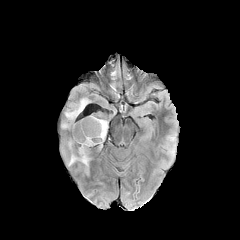
FLAIR MR.
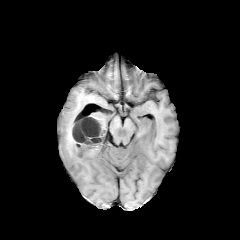
T1-weighted MRI of the same slice.
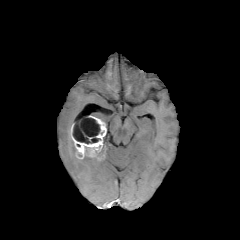
Post-contrast T1-weighted MR.
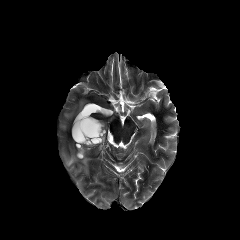
T2-weighted MRI.
Brain | 240x240 px | Axial plane
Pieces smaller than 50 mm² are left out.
peritumoral edema at {"x1": 66, "y1": 142, "x2": 90, "y2": 174}, {"x1": 65, "y1": 99, "x2": 87, "y2": 120}
necrotic tumor core at {"x1": 72, "y1": 121, "x2": 89, "y2": 143}, {"x1": 81, "y1": 117, "x2": 100, "y2": 142}
enhancing tumor at {"x1": 71, "y1": 115, "x2": 106, "y2": 160}